FLAIR MR.
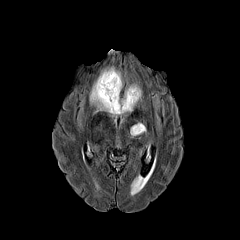
T1-weighted magnetic resonance.
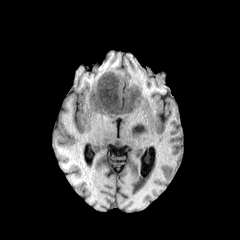
Post-contrast T1-weighted MR.
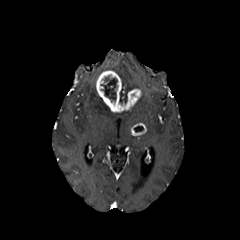
T2-weighted magnetic resonance.
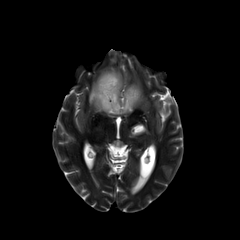
Axial view, 240x240 px
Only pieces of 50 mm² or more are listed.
{
  "necrotic_tumor_core": [
    "box=[101, 76, 117, 101]",
    "box=[134, 126, 143, 132]"
  ],
  "peritumoral_edema": [
    "box=[89, 81, 132, 122]",
    "box=[101, 66, 122, 87]",
    "box=[120, 83, 140, 101]"
  ],
  "enhancing_tumor": [
    "box=[96, 70, 141, 112]",
    "box=[131, 123, 146, 135]"
  ]
}